Head | Image size 240x240 | Axial view
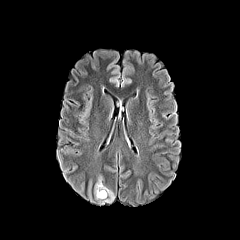
FLAIR MR.
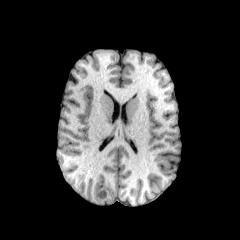
T1-weighted MR image.
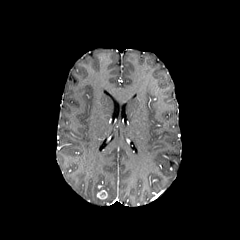
Same slice, post-contrast T1-weighted MR.
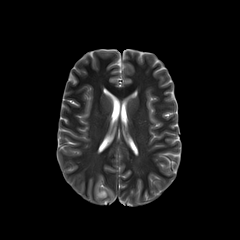
T2-weighted MRI of the same slice.
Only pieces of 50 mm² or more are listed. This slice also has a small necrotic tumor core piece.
enhancing tumor: bounding box <bbox>97, 190, 107, 199</bbox>
peritumoral edema: bounding box <bbox>94, 176, 114, 203</bbox>